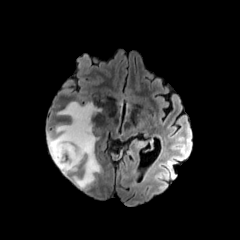
FLAIR MR image.
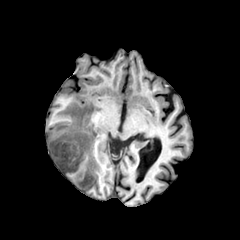
T1-weighted MR.
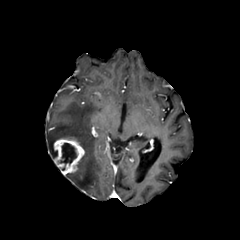
Post-contrast T1-weighted MRI.
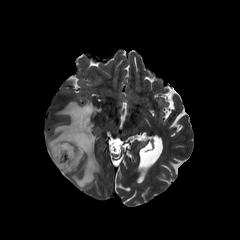
T2-weighted MR.
Head
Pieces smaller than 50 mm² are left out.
The peritumoral edema is at box=[48, 102, 100, 188]. The enhancing tumor is at box=[53, 137, 84, 174]. The largest necrotic tumor core region appears at box=[60, 143, 76, 163].